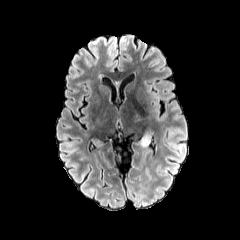
FLAIR MR.
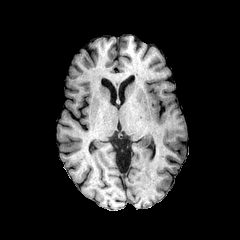
T1-weighted MRI.
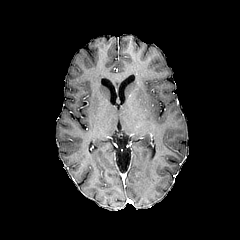
Same slice, post-contrast T1-weighted MRI.
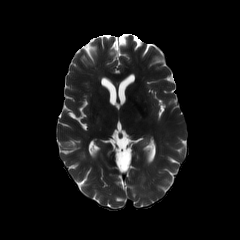
T2-weighted MR image.
Brain. Axial slice.
peritumoral edema = (140,133,151,146)